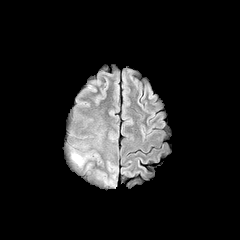
FLAIR MRI.
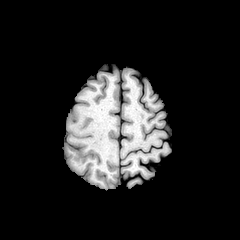
T1-weighted MR.
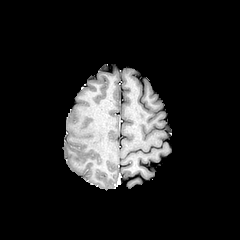
Post-contrast T1-weighted MR.
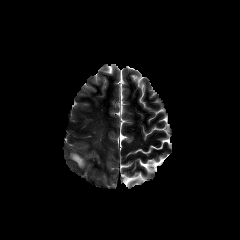
T2-weighted magnetic resonance of the same slice.
Axial view
Segmented structures:
- peritumoral edema: bbox(73, 154, 82, 164)